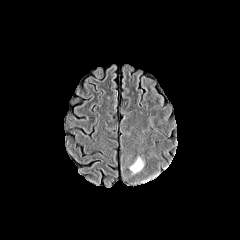
FLAIR MR image.
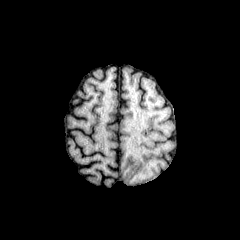
T1-weighted magnetic resonance.
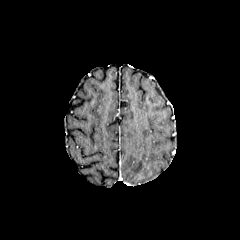
Post-contrast T1-weighted MR image of the same slice.
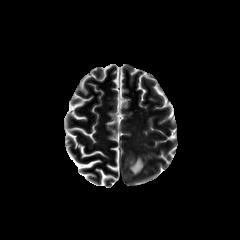
T2-weighted MR.
Head. Axial slice.
peritumoral edema: bounding box l=129, t=157, r=143, b=173